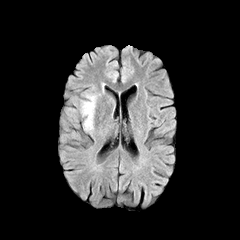
FLAIR MRI.
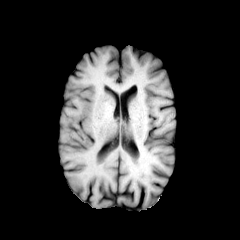
T1-weighted MR of the same slice.
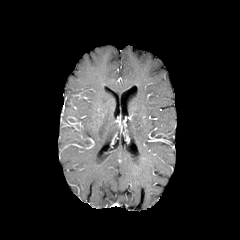
Post-contrast T1-weighted MRI.
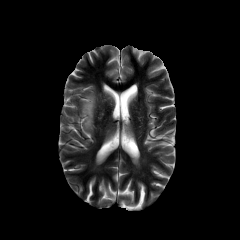
T2-weighted MRI.
Head. Axial slice.
* peritumoral edema: [81,93,96,130]